FLAIR magnetic resonance.
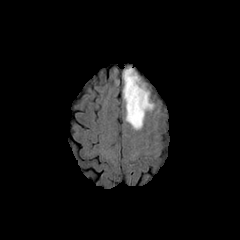
T1-weighted MRI.
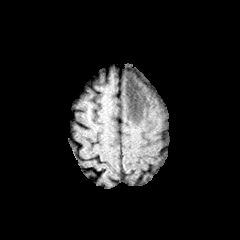
Post-contrast T1-weighted MRI.
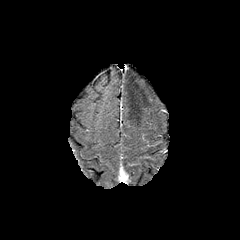
T2-weighted magnetic resonance.
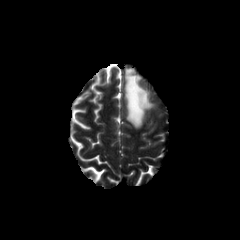
Head
peritumoral edema — [123, 68, 153, 129]